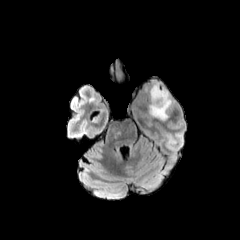
FLAIR MR image.
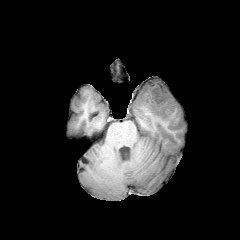
Same slice, T1-weighted MR image.
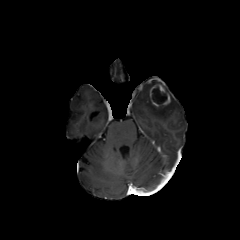
Post-contrast T1-weighted MR image.
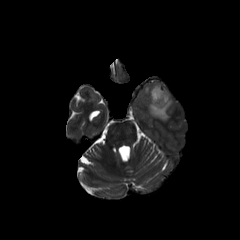
T2-weighted MRI.
Axial view; Image size 240x240
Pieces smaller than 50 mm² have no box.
Annotated regions:
• enhancing tumor: left=149, top=80, right=170, bottom=107
• peritumoral edema: left=144, top=80, right=157, bottom=95; left=148, top=96, right=173, bottom=120
• necrotic tumor core: left=152, top=87, right=167, bottom=104